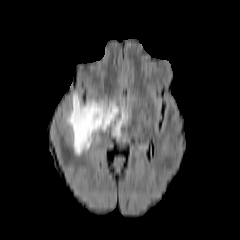
FLAIR MRI.
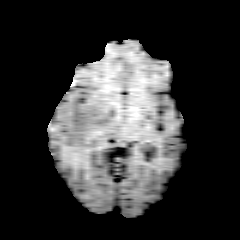
T1-weighted MR image.
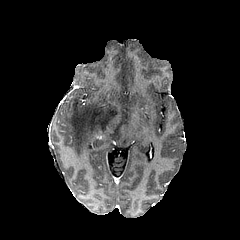
Post-contrast T1-weighted MRI of the same slice.
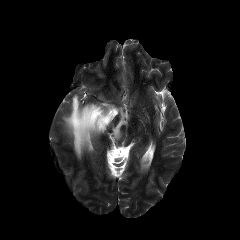
T2-weighted MRI of the same slice.
Axial plane.
{
  "peritumoral_edema": [
    "[65, 94, 128, 155]"
  ]
}